Slice 97 of 155.
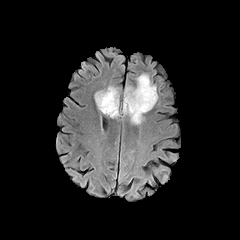
FLAIR MRI.
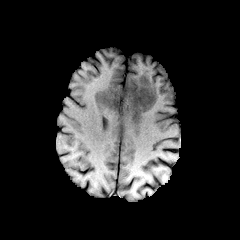
T1-weighted MR image.
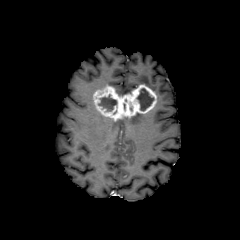
Same slice, post-contrast T1-weighted MRI.
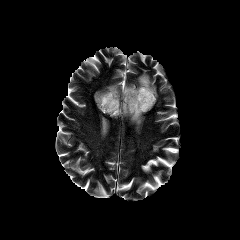
T2-weighted MR of the same slice.
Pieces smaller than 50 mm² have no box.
necrotic tumor core: x1=137, y1=88, x2=153, y2=110; x1=98, y1=95, x2=116, y2=111 | peritumoral edema: x1=136, y1=73, x2=158, y2=97; x1=128, y1=114, x2=144, y2=131; x1=115, y1=85, x2=134, y2=94 | enhancing tumor: x1=93, y1=84, x2=157, y2=120